Axial slice.
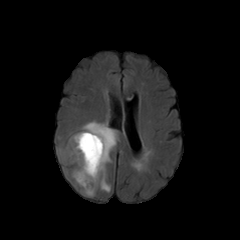
FLAIR MRI.
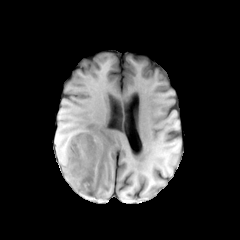
T1-weighted MRI.
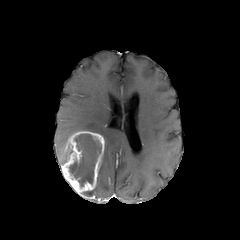
Post-contrast T1-weighted magnetic resonance of the same slice.
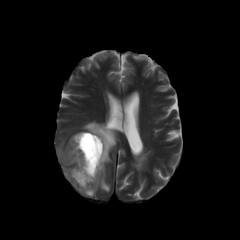
Same slice, T2-weighted MRI.
enhancing tumor: {"x1": 61, "y1": 131, "x2": 105, "y2": 194}
peritumoral edema: {"x1": 58, "y1": 142, "x2": 72, "y2": 164}, {"x1": 81, "y1": 121, "x2": 118, "y2": 196}
necrotic tumor core: {"x1": 69, "y1": 134, "x2": 101, "y2": 186}